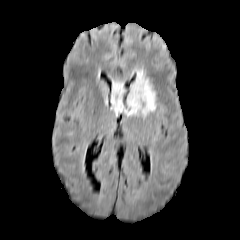
FLAIR MR image.
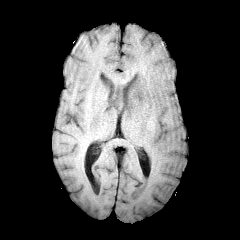
T1-weighted MRI.
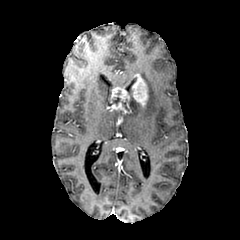
Post-contrast T1-weighted MRI.
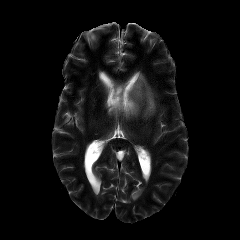
Same slice, T2-weighted MR.
Brain; Image size 240x240
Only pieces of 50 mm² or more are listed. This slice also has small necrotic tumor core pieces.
enhancing tumor at (110,86,130,113), (131,74,148,106)
peritumoral edema at (125,70,156,117)